FLAIR magnetic resonance.
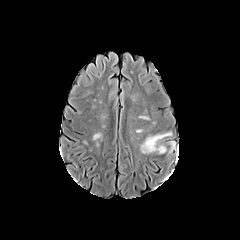
T1-weighted MR.
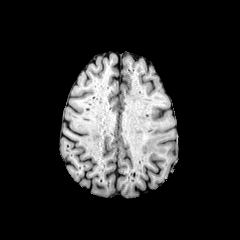
Post-contrast T1-weighted magnetic resonance.
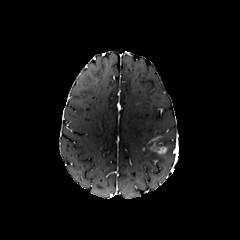
T2-weighted MR image.
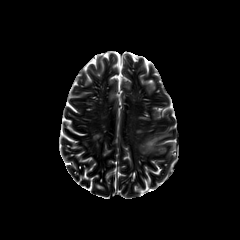
240x240 px; Axial slice; Head
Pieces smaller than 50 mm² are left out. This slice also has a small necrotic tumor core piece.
enhancing tumor = left=148, top=136, right=166, bottom=153
peritumoral edema = left=140, top=136, right=156, bottom=153; left=156, top=132, right=171, bottom=146